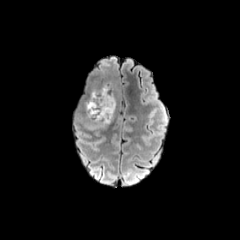
FLAIR MRI.
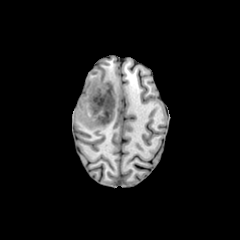
Same slice, T1-weighted MRI.
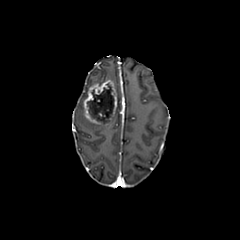
Post-contrast T1-weighted MR image.
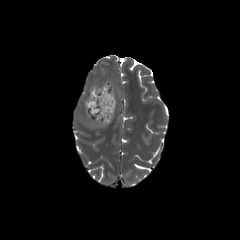
T2-weighted MR image of the same slice.
Image size 240x240; Brain
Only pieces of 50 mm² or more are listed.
{
  "necrotic_tumor_core": [
    "<box>87,84,114,122</box>"
  ],
  "peritumoral_edema": [
    "<box>87,124,106,129</box>"
  ],
  "enhancing_tumor": [
    "<box>83,80,117,125</box>"
  ]
}